FLAIR magnetic resonance.
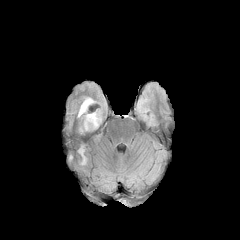
T1-weighted MR image.
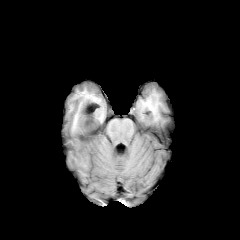
Post-contrast T1-weighted magnetic resonance.
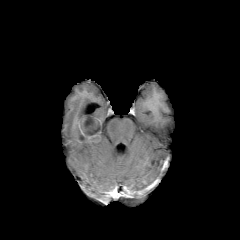
T2-weighted MRI.
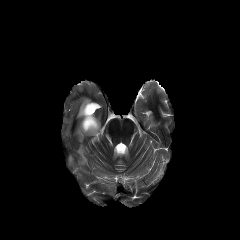
Head; Axial plane
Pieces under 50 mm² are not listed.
The enhancing tumor is at region(78, 115, 101, 142). The 2 largest peritumoral edema regions are bounded by region(77, 98, 92, 117); region(78, 145, 86, 164). The necrotic tumor core is bounded by region(81, 115, 98, 134).